FLAIR MRI.
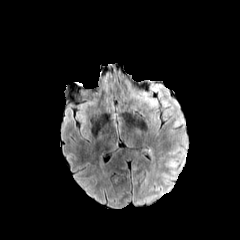
T1-weighted MR.
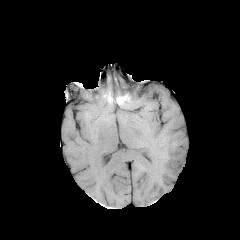
Post-contrast T1-weighted magnetic resonance.
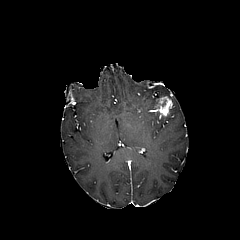
T2-weighted MRI.
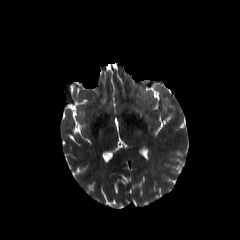
Image size 240x240 | Brain
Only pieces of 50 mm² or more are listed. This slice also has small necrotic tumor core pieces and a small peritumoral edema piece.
enhancing tumor: x1=153, y1=95, x2=172, y2=115